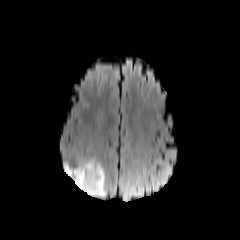
FLAIR MR image.
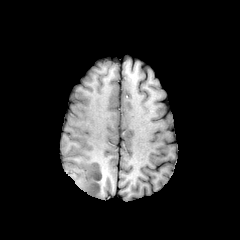
T1-weighted magnetic resonance of the same slice.
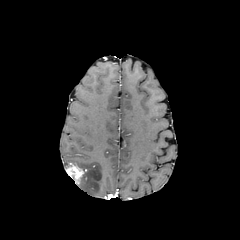
Post-contrast T1-weighted MR image.
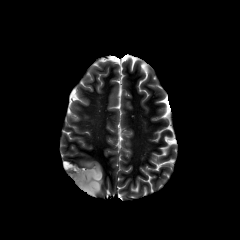
T2-weighted MR image of the same slice.
Image size 240x240
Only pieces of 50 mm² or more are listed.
enhancing tumor: (left=65, top=164, right=86, bottom=186) | peritumoral edema: (left=79, top=160, right=105, bottom=196)